Image size 240x240 | Slice 123 of 155
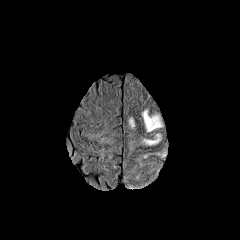
FLAIR magnetic resonance.
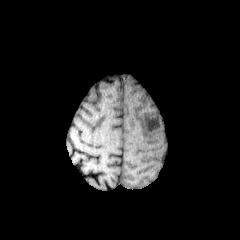
T1-weighted MRI of the same slice.
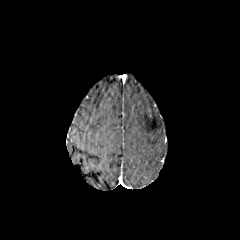
Post-contrast T1-weighted magnetic resonance.
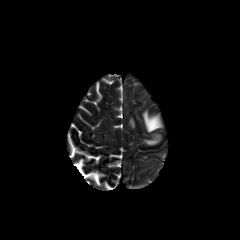
T2-weighted MR.
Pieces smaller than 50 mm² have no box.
peritumoral_edema:
  - 143 110 162 132
  - 141 134 160 145